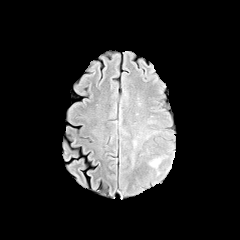
FLAIR magnetic resonance.
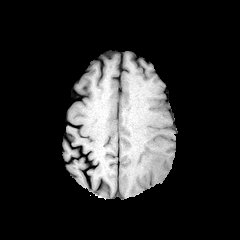
Same slice, T1-weighted MRI.
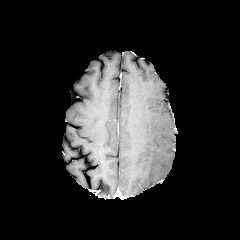
Same slice, post-contrast T1-weighted MR.
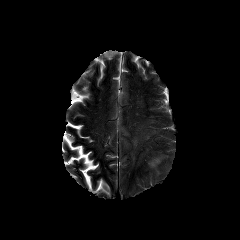
T2-weighted MR image of the same slice.
peritumoral edema — region(149, 156, 163, 168); region(131, 142, 135, 164)